240x240 px. Axial slice.
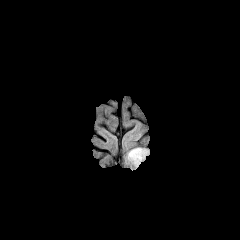
FLAIR MRI.
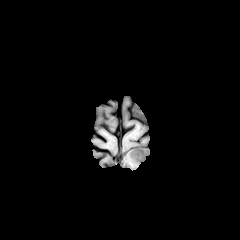
T1-weighted MR image.
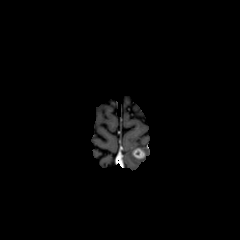
Same slice, post-contrast T1-weighted MR image.
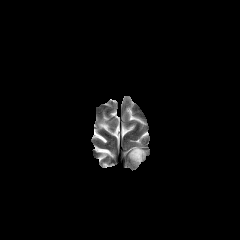
T2-weighted MRI.
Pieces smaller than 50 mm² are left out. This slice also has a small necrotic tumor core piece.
enhancing_tumor:
  - 132, 148, 145, 159
peritumoral_edema:
  - 125, 150, 144, 169